Image covers 240 mm x 240 mm | 240x240
FLAIR MRI.
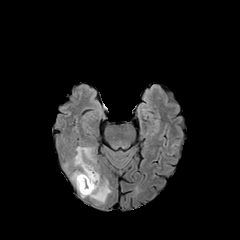
T1-weighted magnetic resonance.
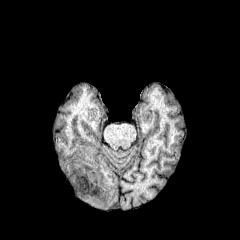
Post-contrast T1-weighted magnetic resonance.
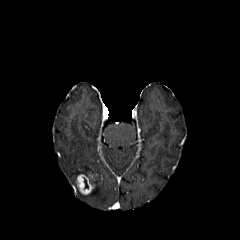
T2-weighted MRI.
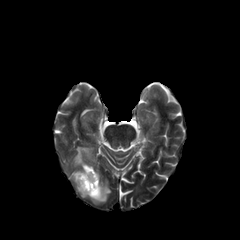
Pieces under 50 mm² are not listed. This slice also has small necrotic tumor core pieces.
enhancing tumor: bounding box {"x1": 76, "y1": 173, "x2": 97, "y2": 194}
peritumoral edema: bounding box {"x1": 80, "y1": 174, "x2": 110, "y2": 203}, {"x1": 72, "y1": 146, "x2": 97, "y2": 186}